FLAIR magnetic resonance.
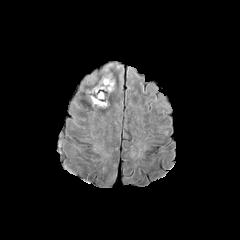
T1-weighted magnetic resonance.
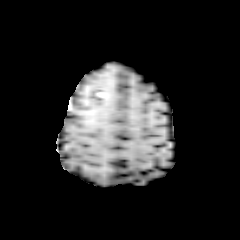
Post-contrast T1-weighted magnetic resonance.
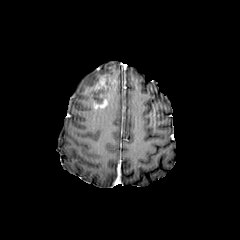
T2-weighted MR image.
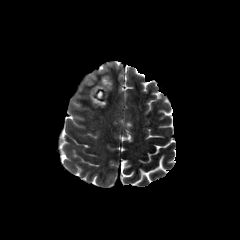
Image size 240x240; Brain
The enhancing tumor appears at 82,76,115,107. The necrotic tumor core is located at 94,93,102,102.